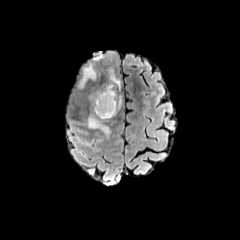
FLAIR magnetic resonance.
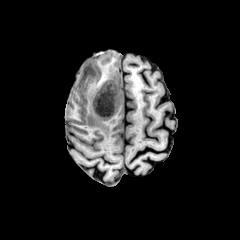
T1-weighted MR image.
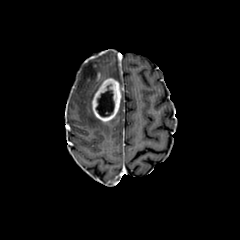
Post-contrast T1-weighted MR image.
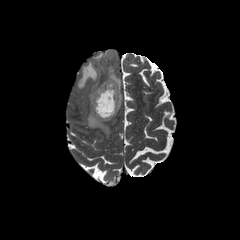
T2-weighted magnetic resonance.
Head; Axial slice
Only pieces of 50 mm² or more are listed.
The 3 largest peritumoral edema regions are bounded by box=[78, 63, 97, 89]; box=[109, 68, 120, 87]; box=[87, 110, 110, 136]. The necrotic tumor core lies within box=[96, 86, 114, 116]. The enhancing tumor lies within box=[92, 78, 121, 121].